FLAIR magnetic resonance.
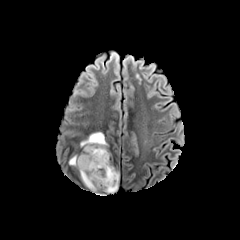
T1-weighted MRI.
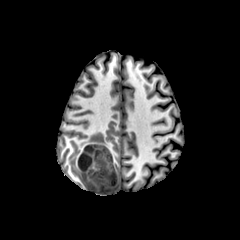
Post-contrast T1-weighted MR image.
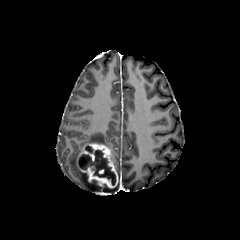
T2-weighted MR image.
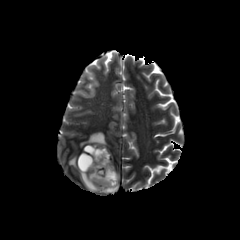
Image size 240x240
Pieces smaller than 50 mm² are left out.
Annotated regions:
• enhancing tumor: (left=76, top=143, right=118, bottom=188), (left=80, top=147, right=94, bottom=161)
• necrotic tumor core: (left=78, top=146, right=115, bottom=185)
• peritumoral edema: (left=80, top=132, right=108, bottom=147), (left=69, top=155, right=77, bottom=167), (left=78, top=169, right=118, bottom=192)